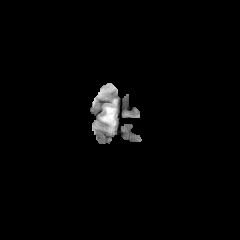
FLAIR MRI.
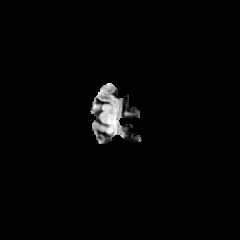
T1-weighted MRI of the same slice.
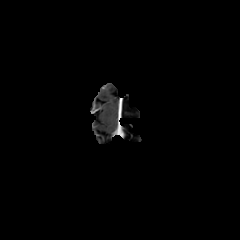
Same slice, post-contrast T1-weighted MR.
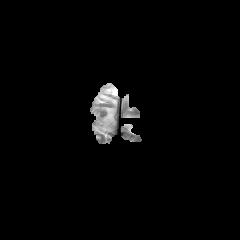
Same slice, T2-weighted MR.
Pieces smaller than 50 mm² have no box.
Findings:
* peritumoral edema: (99, 85, 115, 96), (100, 99, 116, 126)